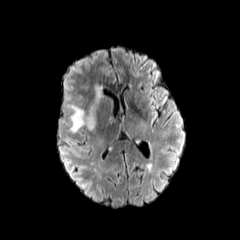
FLAIR magnetic resonance.
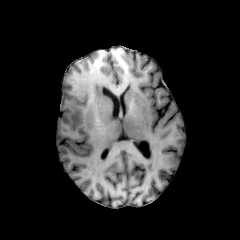
T1-weighted MR image.
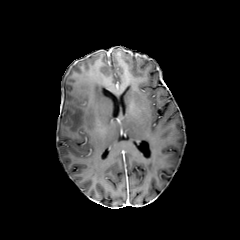
Same slice, post-contrast T1-weighted MR.
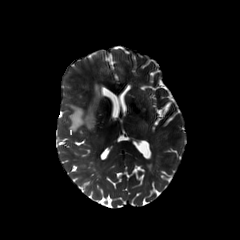
T2-weighted magnetic resonance of the same slice.
Brain
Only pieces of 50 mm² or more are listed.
The largest peritumoral edema region lies within (68,85,102,131).